FLAIR MRI.
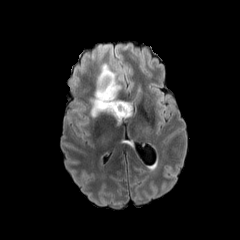
T1-weighted magnetic resonance.
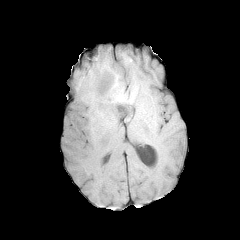
Post-contrast T1-weighted MRI.
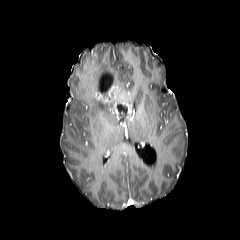
T2-weighted MRI.
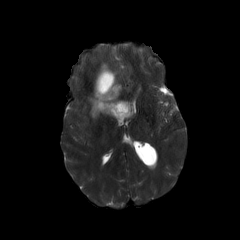
240x240 px; Axial plane
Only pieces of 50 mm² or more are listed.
necrotic tumor core: (117,104,126,113), (100,74,112,91)
enhancing tumor: (113,102,131,119), (96,83,119,102)
peritumoral edema: (91,64,126,116)